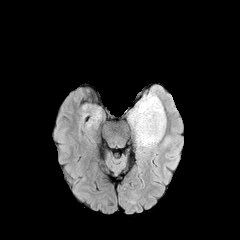
FLAIR MR.
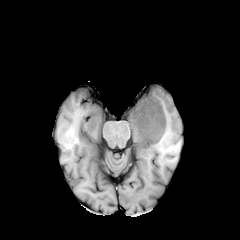
T1-weighted MRI.
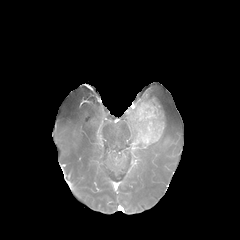
Same slice, post-contrast T1-weighted MR image.
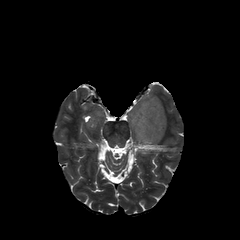
Same slice, T2-weighted MR.
Head
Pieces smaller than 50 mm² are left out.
<segmentation>
  <enhancing_tumor>left=131, top=98, right=164, bottom=147</enhancing_tumor>
  <peritumoral_edema>left=128, top=89, right=166, bottom=153</peritumoral_edema>
</segmentation>